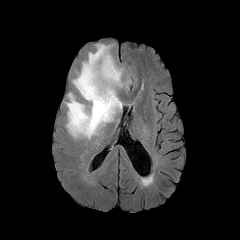
FLAIR MR image.
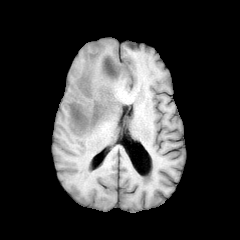
T1-weighted MR.
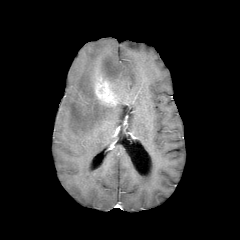
Same slice, post-contrast T1-weighted MR image.
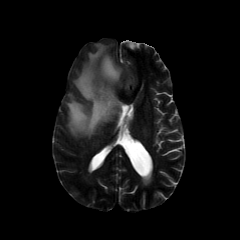
T2-weighted MRI.
240x240 px. Axial plane.
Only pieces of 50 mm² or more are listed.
<segmentation>
  <enhancing_tumor>94 76 118 106</enhancing_tumor>
  <peritumoral_edema>65 43 123 139</peritumoral_edema>
</segmentation>